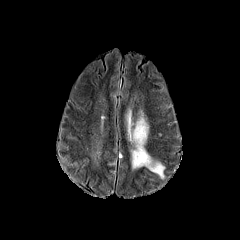
FLAIR MRI.
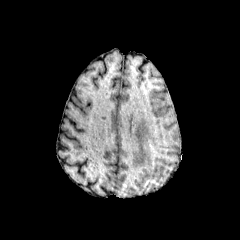
T1-weighted MR of the same slice.
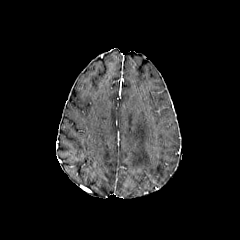
Post-contrast T1-weighted MR image.
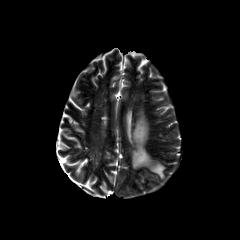
T2-weighted magnetic resonance of the same slice.
Brain; Axial plane
peritumoral edema — {"x1": 127, "y1": 110, "x2": 164, "y2": 178}